240x240; Slice index 115
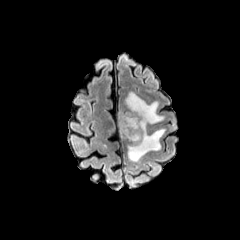
FLAIR magnetic resonance.
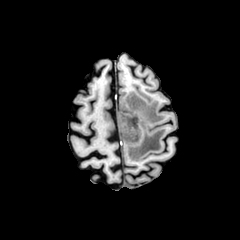
Same slice, T1-weighted MR image.
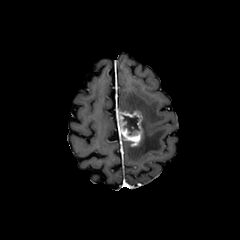
Post-contrast T1-weighted MR image of the same slice.
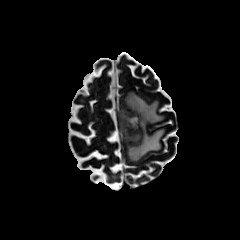
Same slice, T2-weighted MR image.
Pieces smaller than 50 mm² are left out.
peritumoral edema at bbox(125, 91, 165, 161)
necrotic tumor core at bbox(123, 115, 139, 134)
enhancing tumor at bbox(116, 110, 142, 146)